FLAIR MR image.
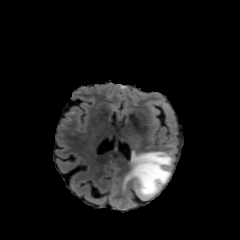
T1-weighted MR.
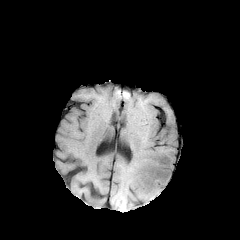
Post-contrast T1-weighted MR.
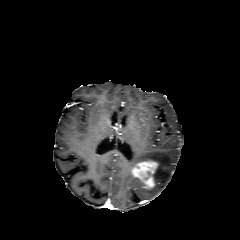
T2-weighted MRI.
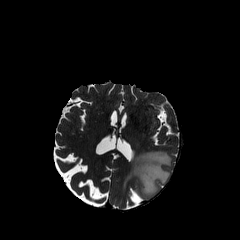
Head, 240x240 px
peritumoral edema = left=122, top=151, right=173, bottom=199
enhancing tumor = left=132, top=161, right=158, bottom=188